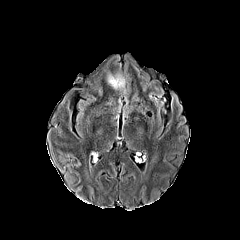
FLAIR MR.
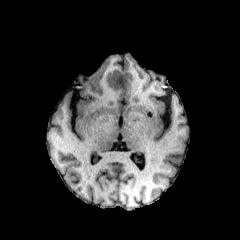
T1-weighted magnetic resonance.
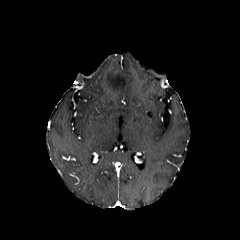
Post-contrast T1-weighted MR of the same slice.
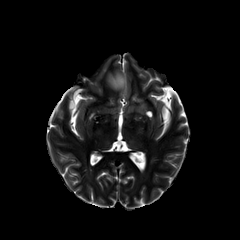
Same slice, T2-weighted MRI.
Head
peritumoral edema — box=[107, 74, 125, 89]